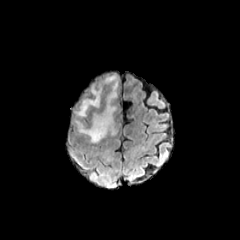
FLAIR MR image.
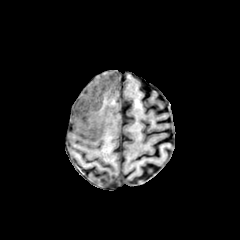
T1-weighted magnetic resonance.
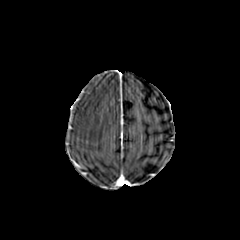
Post-contrast T1-weighted MR image of the same slice.
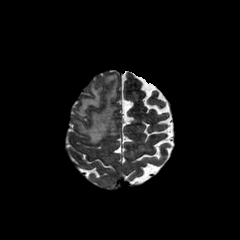
T2-weighted MRI.
Axial plane | Head
2 peritumoral edema regions are located at (x1=76, y1=76, x2=117, y2=142), (x1=77, y1=86, x2=101, y2=116).